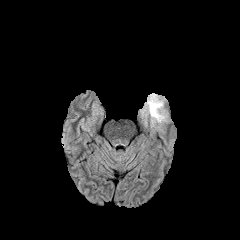
FLAIR MRI.
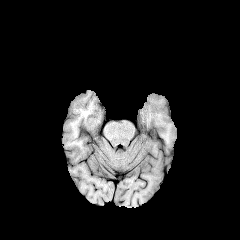
T1-weighted MR.
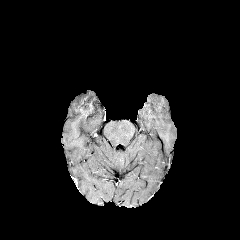
Post-contrast T1-weighted MR.
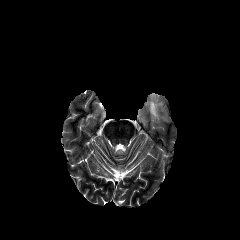
Same slice, T2-weighted MR image.
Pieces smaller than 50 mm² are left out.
{
  "peritumoral_edema": [
    "bbox=[142, 93, 167, 125]"
  ]
}